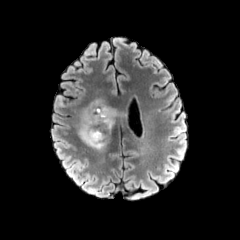
FLAIR MR image.
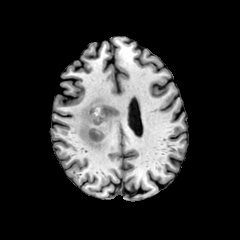
Same slice, T1-weighted magnetic resonance.
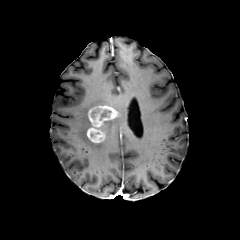
Post-contrast T1-weighted magnetic resonance of the same slice.
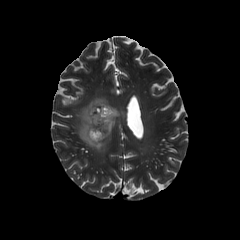
T2-weighted MRI of the same slice.
Brain
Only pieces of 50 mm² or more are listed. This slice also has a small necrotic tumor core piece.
Findings:
- enhancing tumor: (86,104,118,143)
- peritumoral edema: (77,98,108,149), (106,118,115,136)